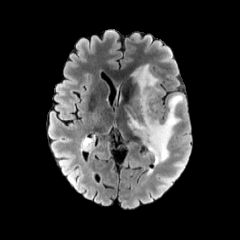
FLAIR MRI.
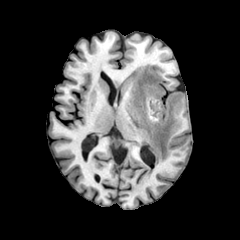
Same slice, T1-weighted MRI.
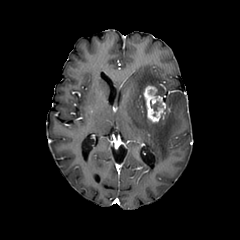
Post-contrast T1-weighted MR image.
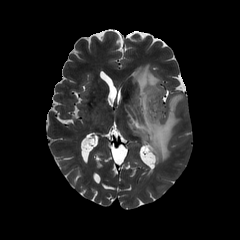
T2-weighted MR image of the same slice.
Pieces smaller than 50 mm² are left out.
The peritumoral edema lies within rect(128, 64, 183, 165). The enhancing tumor appears at rect(143, 85, 165, 122). The largest necrotic tumor core region is located at rect(150, 101, 162, 110).